FLAIR magnetic resonance.
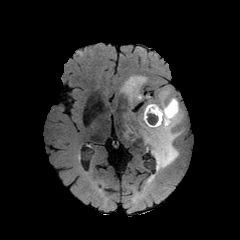
T1-weighted MR image.
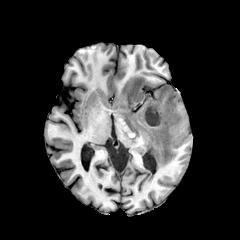
Post-contrast T1-weighted MR image.
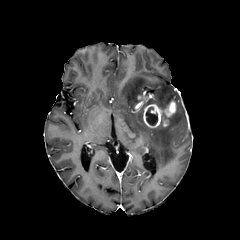
T2-weighted MR.
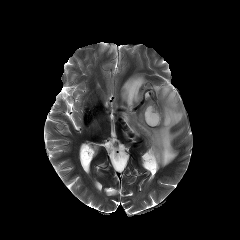
Image size 240x240. Brain.
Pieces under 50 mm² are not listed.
<segmentation>
  <peritumoral_edema>126, 126, 133, 140; 140, 86, 183, 171; 121, 75, 148, 104</peritumoral_edema>
  <necrotic_tumor_core>146, 107, 157, 125</necrotic_tumor_core>
  <enhancing_tumor>143, 100, 176, 127</enhancing_tumor>
</segmentation>